FLAIR MRI.
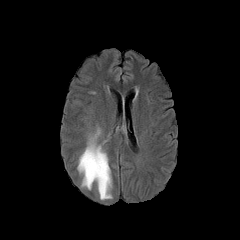
T1-weighted MR image.
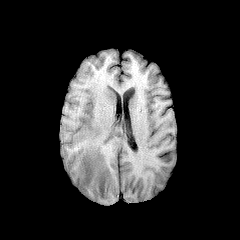
Post-contrast T1-weighted MR image.
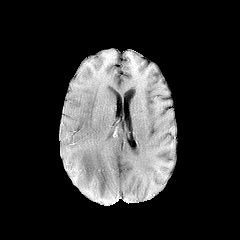
T2-weighted magnetic resonance.
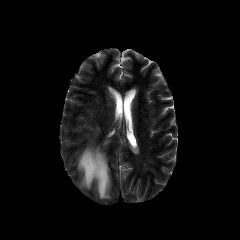
240x240 | Head
peritumoral edema: left=77, top=128, right=111, bottom=199